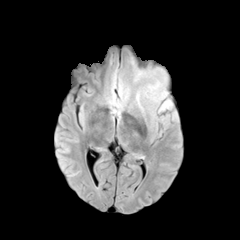
FLAIR MR.
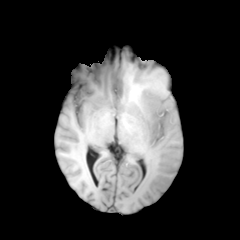
T1-weighted MR of the same slice.
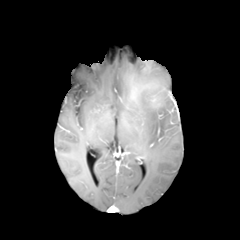
Post-contrast T1-weighted magnetic resonance of the same slice.
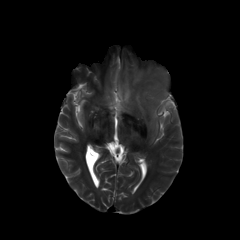
T2-weighted MR image.
Head.
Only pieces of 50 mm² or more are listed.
The 2 largest peritumoral edema regions appear at bbox(151, 91, 166, 103); bbox(160, 98, 172, 110).